FLAIR magnetic resonance.
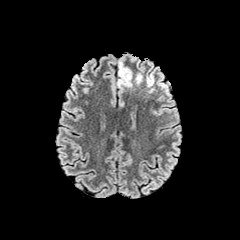
T1-weighted magnetic resonance.
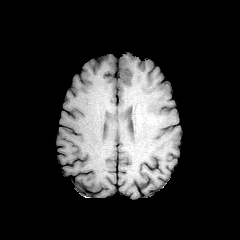
Post-contrast T1-weighted magnetic resonance.
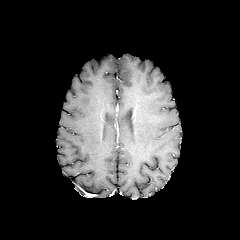
T2-weighted magnetic resonance.
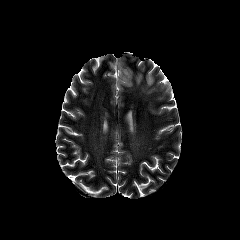
Axial view; Head
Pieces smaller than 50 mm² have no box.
{"peritumoral_edema": ["(left=146, top=75, right=154, bottom=86)", "(left=117, top=61, right=132, bottom=87)", "(left=135, top=73, right=142, bottom=84)"]}